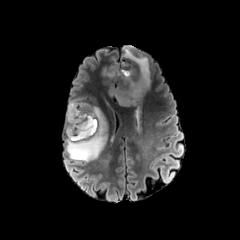
FLAIR MR.
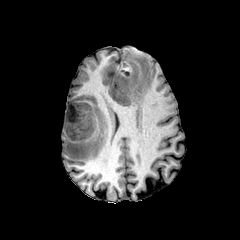
T1-weighted magnetic resonance of the same slice.
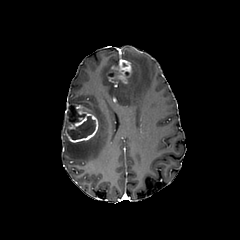
Post-contrast T1-weighted magnetic resonance.
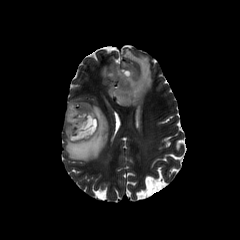
Same slice, T2-weighted MRI.
Head; 240x240 px
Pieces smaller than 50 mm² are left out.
Findings:
* necrotic tumor core: (left=67, top=116, right=95, bottom=139), (left=67, top=104, right=85, bottom=124)
* enhancing tumor: (left=108, top=59, right=131, bottom=84), (left=65, top=104, right=98, bottom=142)
* peritumoral edema: (left=108, top=46, right=151, bottom=110), (left=66, top=100, right=107, bottom=162)